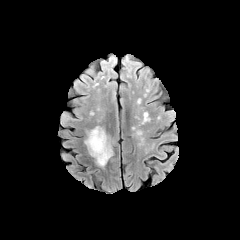
FLAIR magnetic resonance.
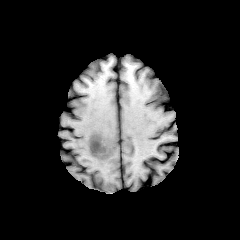
T1-weighted MR image of the same slice.
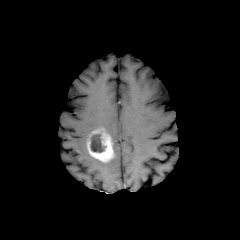
Post-contrast T1-weighted magnetic resonance.
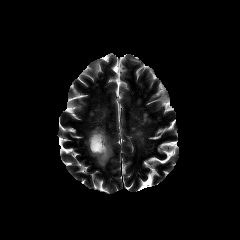
Same slice, T2-weighted magnetic resonance.
Brain.
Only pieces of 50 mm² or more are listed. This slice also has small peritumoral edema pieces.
enhancing tumor: rect(86, 128, 114, 162) | necrotic tumor core: rect(91, 134, 104, 152)